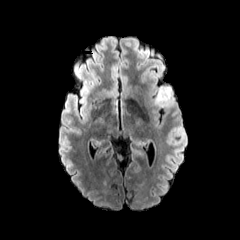
FLAIR MR image.
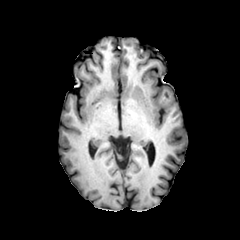
Same slice, T1-weighted MR image.
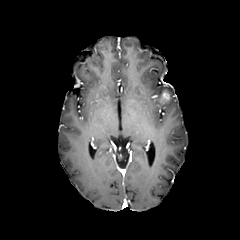
Post-contrast T1-weighted magnetic resonance.
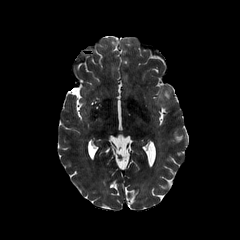
T2-weighted magnetic resonance.
Axial view
The peritumoral edema is bounded by bbox=[154, 86, 172, 104]. The enhancing tumor is bounded by bbox=[160, 90, 171, 102].